FLAIR MRI.
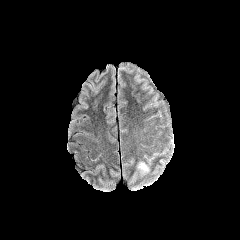
T1-weighted MR image.
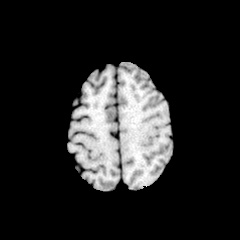
Post-contrast T1-weighted MR.
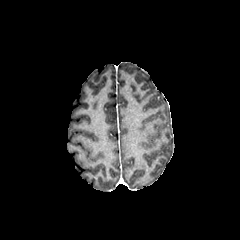
T2-weighted MR image.
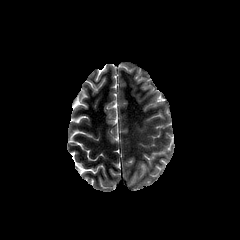
Head. 240x240 px.
The peritumoral edema appears at (139,163,147,171).